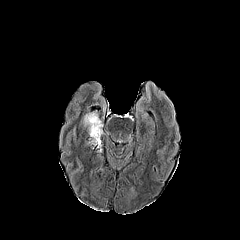
FLAIR MR.
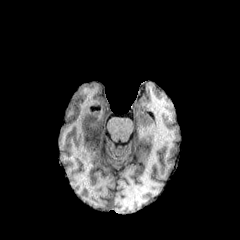
T1-weighted MRI.
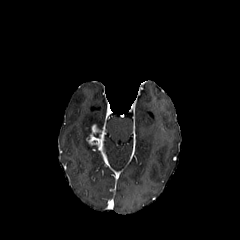
Post-contrast T1-weighted MR.
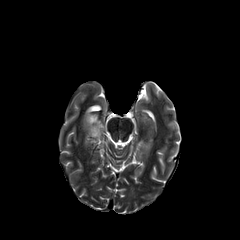
T2-weighted magnetic resonance.
Axial slice, Head
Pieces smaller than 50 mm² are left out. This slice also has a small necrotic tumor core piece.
peritumoral_edema:
  - [83,113,102,134]
enhancing_tumor:
  - [88,124,102,147]